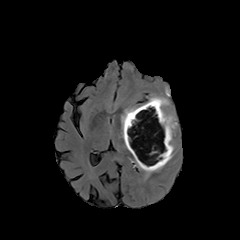
FLAIR magnetic resonance.
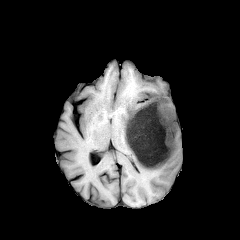
T1-weighted MRI.
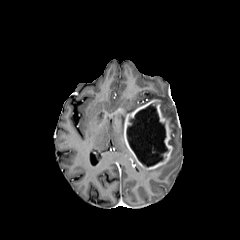
Post-contrast T1-weighted MR.
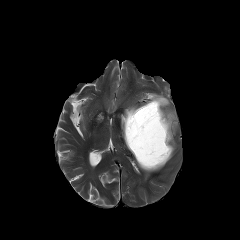
T2-weighted magnetic resonance.
Axial plane
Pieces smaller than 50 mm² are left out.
necrotic tumor core = [127,103,168,167]
peritumoral edema = [136,162,164,175], [148,94,177,134], [121,106,140,138]
enhancing tumor = [124,99,173,169]